Axial slice | Slice 26/155 | 240x240 px | Brain
FLAIR MR image.
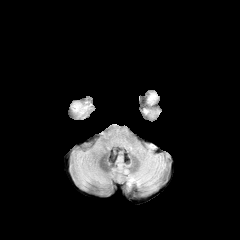
T1-weighted MRI.
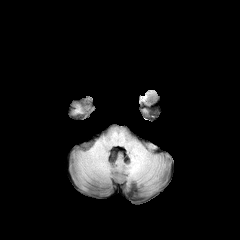
Post-contrast T1-weighted MRI.
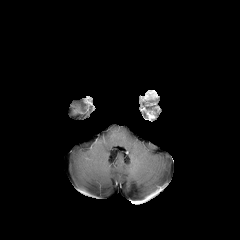
T2-weighted MR image.
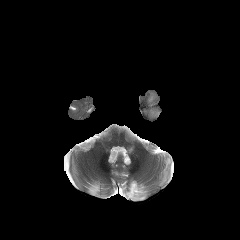
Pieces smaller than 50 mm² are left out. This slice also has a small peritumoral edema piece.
enhancing tumor: [147, 92, 157, 100], [145, 109, 155, 119]